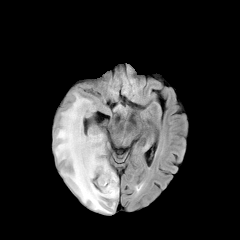
FLAIR MR.
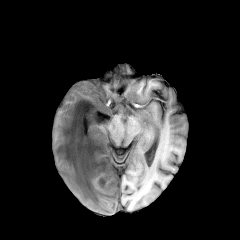
Same slice, T1-weighted MRI.
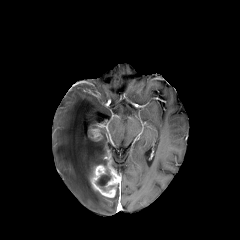
Post-contrast T1-weighted MR.
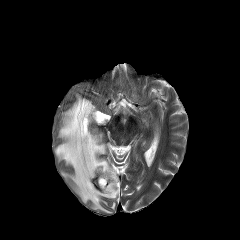
T2-weighted MR.
enhancing tumor: bounding box 89,147,120,197; 89,128,102,140
necrotic tumor core: bounding box 97,174,110,186
peritumoral edema: bounding box 54,92,119,213